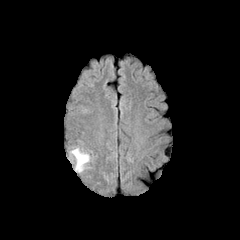
FLAIR magnetic resonance.
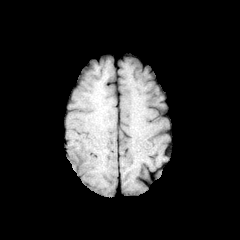
Same slice, T1-weighted MR.
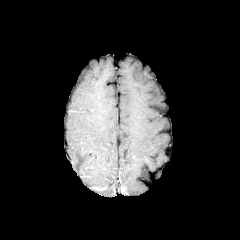
Post-contrast T1-weighted magnetic resonance.
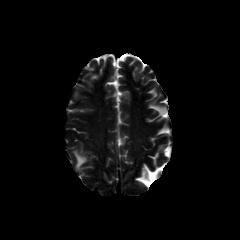
T2-weighted magnetic resonance.
Head.
Segmented structures:
• peritumoral edema: x1=71 y1=148 x2=89 y2=171